FLAIR MRI.
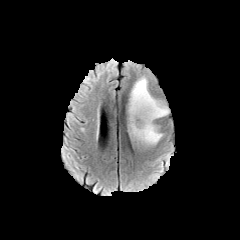
T1-weighted MR.
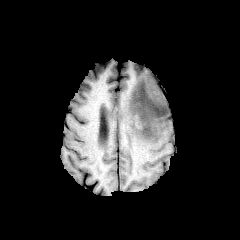
Post-contrast T1-weighted MRI.
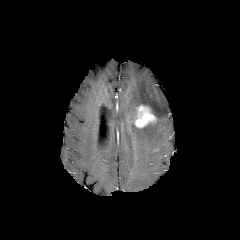
T2-weighted MR image.
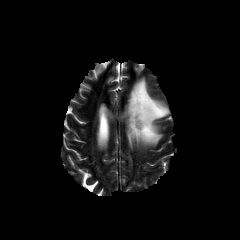
Axial plane.
enhancing tumor at box(135, 105, 156, 127)
peritumoral edema at box(127, 76, 169, 147)